Slice 62/155
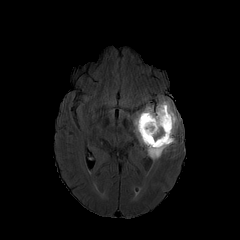
FLAIR MR.
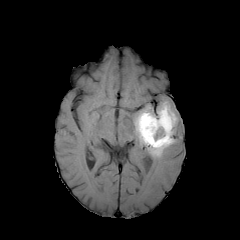
T1-weighted MRI of the same slice.
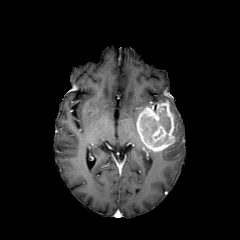
Same slice, post-contrast T1-weighted MR image.
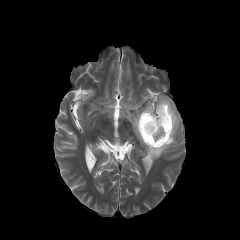
T2-weighted MR.
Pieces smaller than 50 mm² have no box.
Annotated regions:
- peritumoral edema: {"x1": 158, "y1": 96, "x2": 181, "y2": 135}, {"x1": 132, "y1": 108, "x2": 176, "y2": 160}
- enhancing tumor: {"x1": 136, "y1": 100, "x2": 174, "y2": 151}, {"x1": 144, "y1": 122, "x2": 152, "y2": 135}
- necrotic tumor core: {"x1": 160, "y1": 106, "x2": 170, "y2": 132}, {"x1": 141, "y1": 115, "x2": 157, "y2": 142}, {"x1": 154, "y1": 135, "x2": 168, "y2": 146}